FLAIR MR.
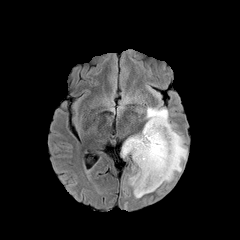
T1-weighted MR.
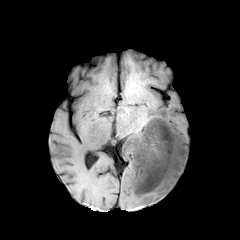
Post-contrast T1-weighted magnetic resonance.
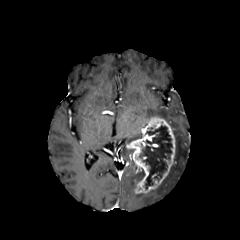
T2-weighted MR image.
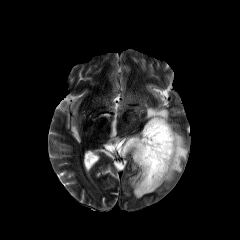
Brain; Image size 240x240
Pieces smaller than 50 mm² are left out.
• necrotic tumor core: 140:125:172:188
• enhancing tumor: 126:116:175:193
• peritumoral edema: 121:132:141:157, 129:169:145:198, 146:107:168:122, 162:123:187:183